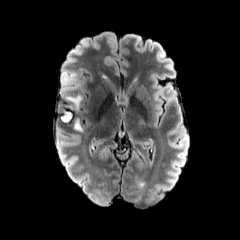
FLAIR magnetic resonance.
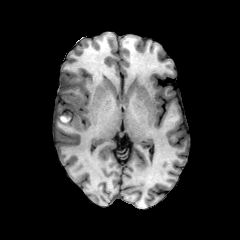
T1-weighted MRI of the same slice.
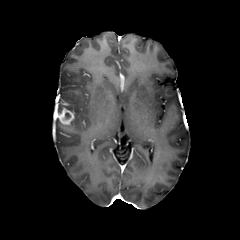
Same slice, post-contrast T1-weighted MR.
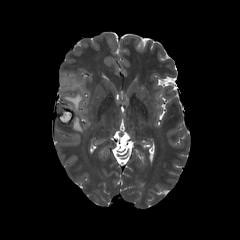
T2-weighted MRI.
240x240 px, Head, Axial slice
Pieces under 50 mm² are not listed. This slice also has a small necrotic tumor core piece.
<segmentation>
  <peritumoral_edema>box(63, 94, 82, 109); box(74, 119, 82, 130); box(61, 71, 78, 93)</peritumoral_edema>
  <enhancing_tumor>box(59, 109, 74, 124)</enhancing_tumor>
</segmentation>